Brain | Axial plane
FLAIR MR image.
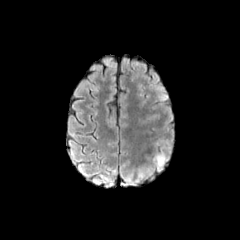
T1-weighted MR image.
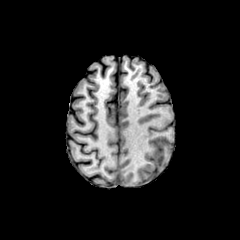
Post-contrast T1-weighted MR.
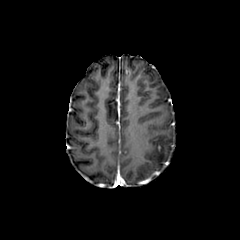
T2-weighted MR.
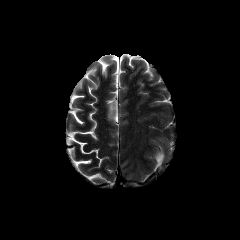
Annotated regions:
- peritumoral edema: 156 154 164 167